Axial plane. Brain.
FLAIR MR.
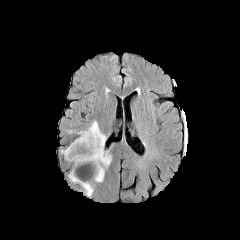
T1-weighted MR image.
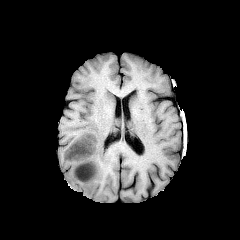
Post-contrast T1-weighted MR image.
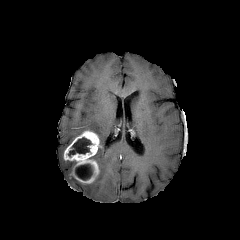
T2-weighted MR image.
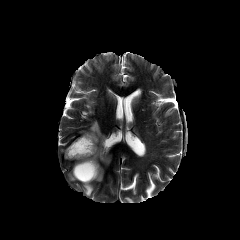
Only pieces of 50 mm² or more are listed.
necrotic tumor core = bbox=[68, 137, 91, 156]; bbox=[75, 164, 92, 180]
peritumoral edema = bbox=[68, 171, 93, 196]; bbox=[88, 121, 111, 182]
enhancing tumor = bbox=[64, 130, 101, 183]